Slice 74 of 155, Axial plane, Brain
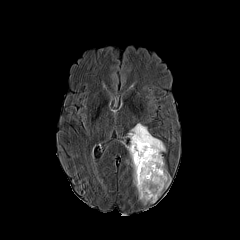
FLAIR magnetic resonance.
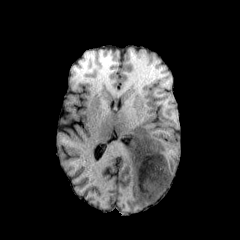
T1-weighted MRI.
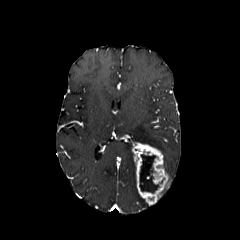
Post-contrast T1-weighted MRI.
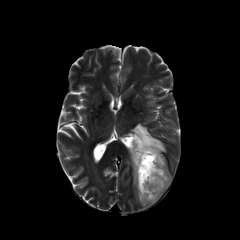
T2-weighted magnetic resonance.
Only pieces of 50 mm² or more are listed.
enhancing tumor: 131:141:170:204
peritumoral edema: 129:123:165:152, 128:150:135:185
necrotic tumor core: 139:154:158:192